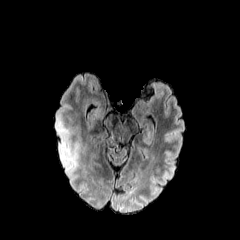
FLAIR MR.
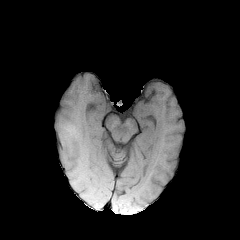
T1-weighted MR.
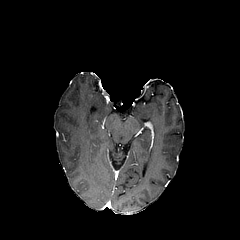
Same slice, post-contrast T1-weighted MRI.
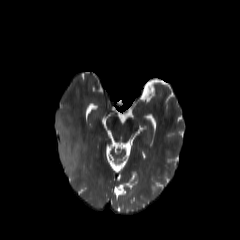
T2-weighted MR of the same slice.
Brain | Image size 240x240
peritumoral edema at 56, 116, 80, 179